Axial slice | 240x240 | Brain
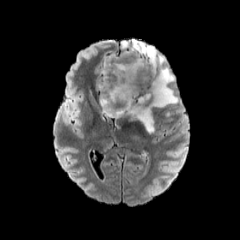
FLAIR MRI.
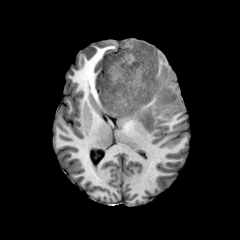
T1-weighted MR of the same slice.
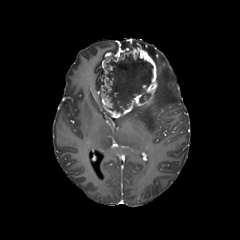
Post-contrast T1-weighted MRI of the same slice.
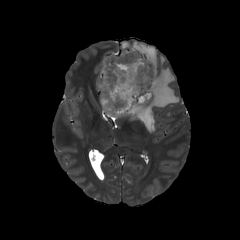
T2-weighted MR.
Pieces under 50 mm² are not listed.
The 2 largest necrotic tumor core regions are bounded by l=140, t=93, r=150, b=102; l=106, t=54, r=152, b=112. The largest peritumoral edema region is at l=121, t=40, r=179, b=132. The largest enhancing tumor region is at l=100, t=44, r=157, b=117.